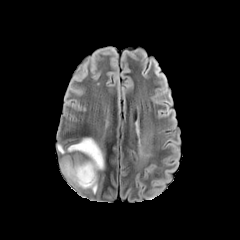
FLAIR magnetic resonance.
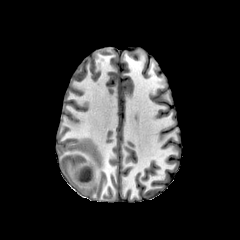
Same slice, T1-weighted MR.
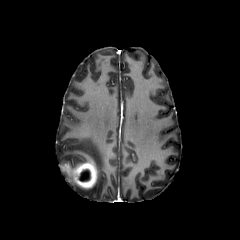
Post-contrast T1-weighted MR.
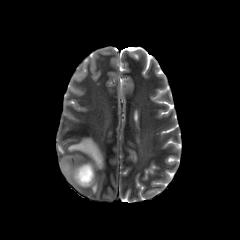
Same slice, T2-weighted MR image.
Axial plane; Head; 240x240 px
necrotic tumor core at {"x1": 79, "y1": 169, "x2": 90, "y2": 181}
enhancing tumor at {"x1": 60, "y1": 159, "x2": 96, "y2": 189}
peritumoral edema at {"x1": 56, "y1": 144, "x2": 64, "y2": 154}, {"x1": 62, "y1": 172, "x2": 86, "y2": 189}, {"x1": 88, "y1": 175, "x2": 97, "y2": 193}, {"x1": 67, "y1": 138, "x2": 104, "y2": 171}, {"x1": 60, "y1": 159, "x2": 73, "y2": 167}